Head; Axial view
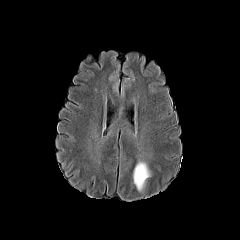
FLAIR MR.
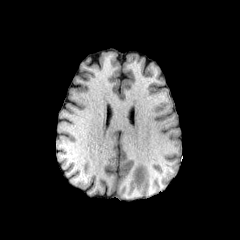
T1-weighted MR.
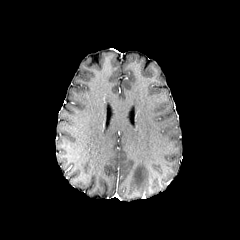
Same slice, post-contrast T1-weighted MR image.
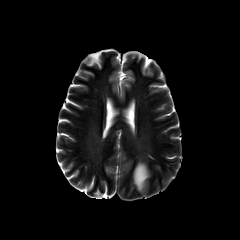
T2-weighted magnetic resonance.
{
  "peritumoral_edema": [
    "bbox(133, 161, 150, 191)"
  ]
}